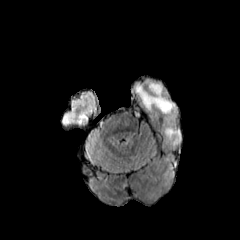
FLAIR MR.
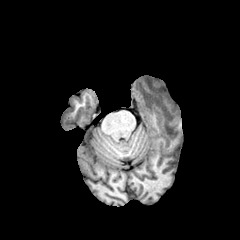
T1-weighted MRI of the same slice.
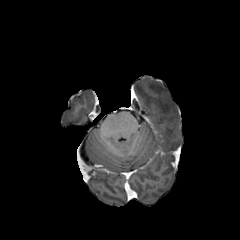
Post-contrast T1-weighted magnetic resonance of the same slice.
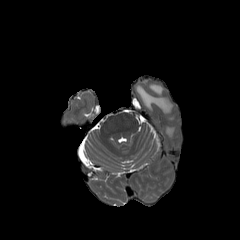
T2-weighted MRI.
240x240
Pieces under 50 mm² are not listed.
peritumoral edema = region(165, 127, 180, 138); region(135, 81, 174, 114)